Image size 240x240
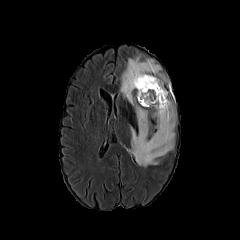
FLAIR magnetic resonance.
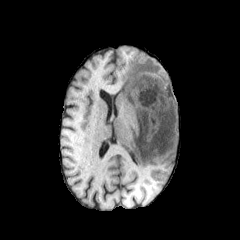
T1-weighted MR image.
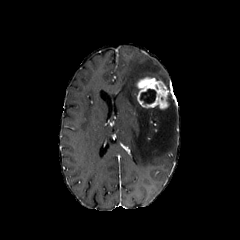
Post-contrast T1-weighted magnetic resonance.
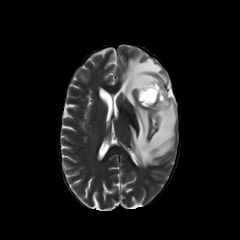
Same slice, T2-weighted magnetic resonance.
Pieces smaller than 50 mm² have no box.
peritumoral_edema:
  - [x1=120, y1=54, x2=176, y2=167]
necrotic_tumor_core:
  - [x1=140, y1=89, x2=156, y2=103]
enhancing_tumor:
  - [x1=136, y1=77, x2=169, y2=109]